Axial view, Slice index 58, Image covers 240 mm x 240 mm
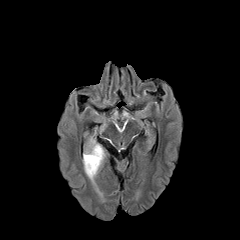
FLAIR magnetic resonance.
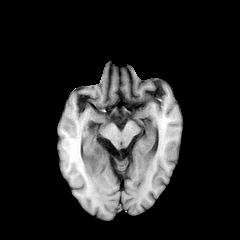
T1-weighted MRI of the same slice.
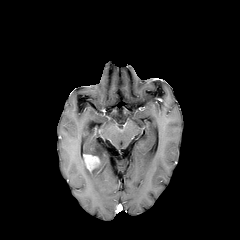
Same slice, post-contrast T1-weighted MRI.
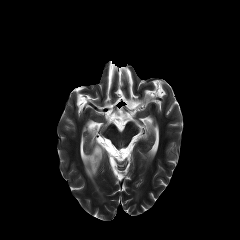
Same slice, T2-weighted MRI.
* peritumoral edema: [83, 137, 105, 183]
* enhancing tumor: [83, 154, 99, 171]